Head, Image covers 240 mm x 240 mm
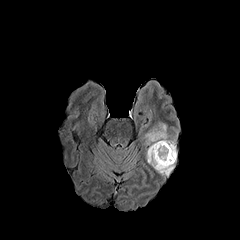
FLAIR MRI.
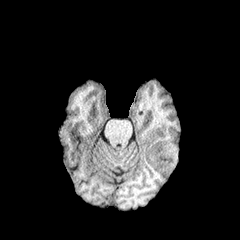
T1-weighted magnetic resonance of the same slice.
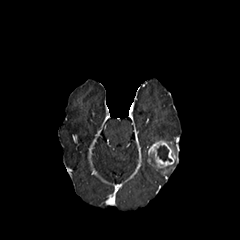
Post-contrast T1-weighted MR.
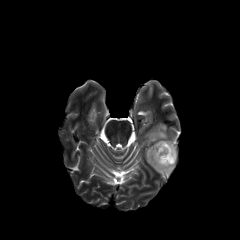
T2-weighted MRI of the same slice.
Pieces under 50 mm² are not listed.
The enhancing tumor lies within {"x1": 148, "y1": 140, "x2": 176, "y2": 174}. The necrotic tumor core is at {"x1": 157, "y1": 146, "x2": 171, "y2": 161}. The largest peritumoral edema region is at {"x1": 145, "y1": 123, "x2": 171, "y2": 144}.